FLAIR MR.
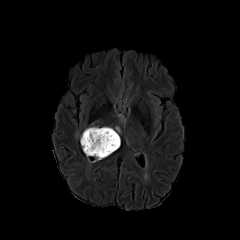
T1-weighted MR.
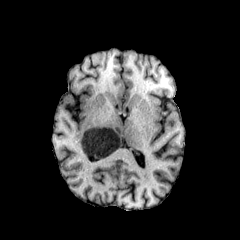
Post-contrast T1-weighted MR image.
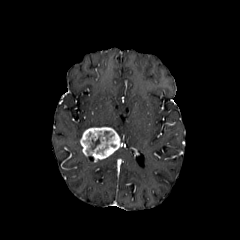
T2-weighted MR.
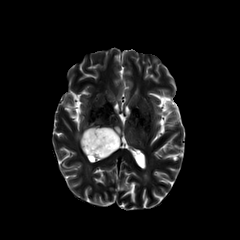
Brain. Axial slice.
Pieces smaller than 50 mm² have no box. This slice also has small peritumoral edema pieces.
Segmented structures:
* necrotic tumor core: bbox=[90, 136, 100, 150]
* enhancing tumor: bbox=[80, 127, 120, 163]